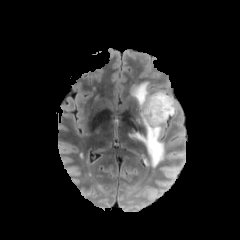
FLAIR MR image.
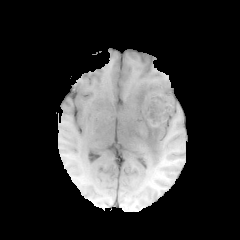
Same slice, T1-weighted MR image.
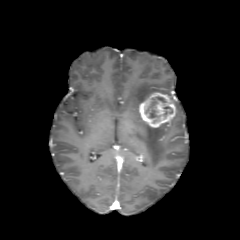
Post-contrast T1-weighted magnetic resonance of the same slice.
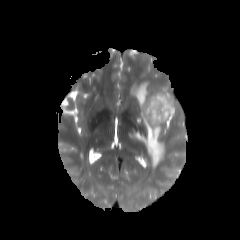
T2-weighted MR image.
240x240 px; Axial view
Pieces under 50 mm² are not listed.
The largest necrotic tumor core region appears at [149, 97, 165, 107]. The 2 largest peritumoral edema regions appear at [131, 82, 148, 104], [134, 121, 165, 167]. The enhancing tumor is bounded by [139, 92, 176, 127].